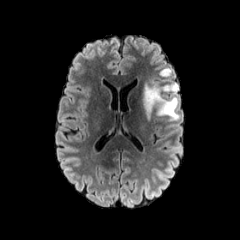
FLAIR MRI.
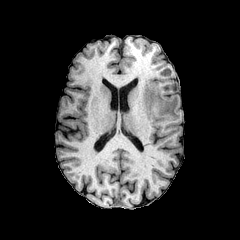
Same slice, T1-weighted MR image.
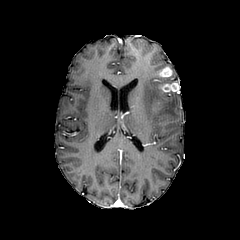
Post-contrast T1-weighted MRI of the same slice.
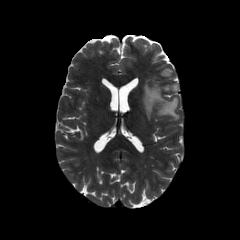
T2-weighted MRI.
Axial plane. Brain. 240x240 px.
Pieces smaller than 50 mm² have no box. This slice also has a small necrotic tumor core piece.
Segmented structures:
* peritumoral edema: region(141, 83, 178, 121)
* enhancing tumor: region(161, 82, 179, 92); region(159, 67, 171, 77)